240x240. Brain. Axial plane.
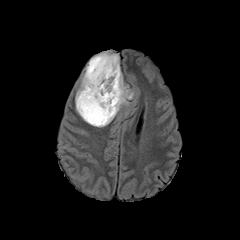
FLAIR MRI.
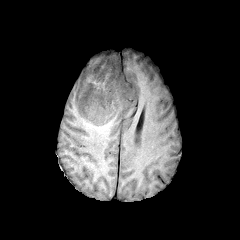
Same slice, T1-weighted magnetic resonance.
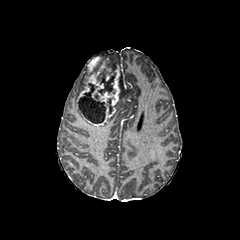
Post-contrast T1-weighted MR image.
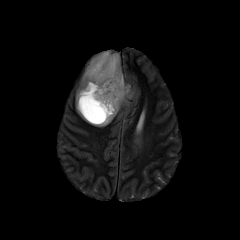
T2-weighted MRI of the same slice.
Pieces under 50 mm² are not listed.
peritumoral edema: <bbox>75, 51, 134, 127</bbox>
enhancing tumor: <bbox>87, 56, 100, 72</bbox>, <bbox>77, 61, 120, 125</bbox>
necrotic tumor core: <bbox>98, 77, 115, 95</bbox>, <bbox>78, 83, 106, 123</bbox>, <bbox>107, 98, 112, 113</bbox>